Axial view. 240x240 px. Slice index 52.
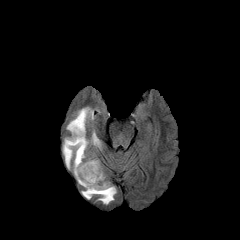
FLAIR MR.
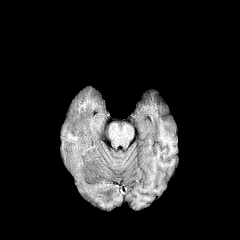
T1-weighted MRI.
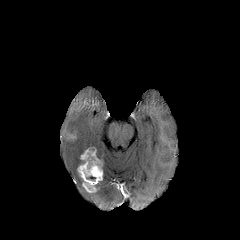
Post-contrast T1-weighted MR of the same slice.
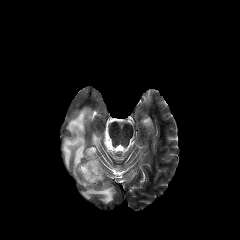
Same slice, T2-weighted MR.
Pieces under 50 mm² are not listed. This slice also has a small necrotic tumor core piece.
2 peritumoral edema regions are located at [x1=62, y1=107, x2=101, y2=185], [x1=81, y1=174, x2=116, y2=204]. The enhancing tumor is at [x1=77, y1=148, x2=103, y2=193].